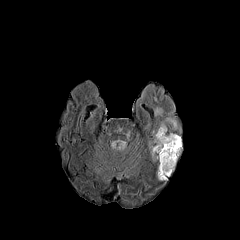
FLAIR MR.
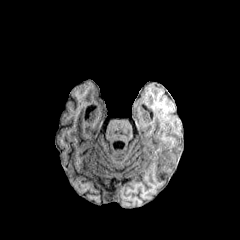
T1-weighted magnetic resonance of the same slice.
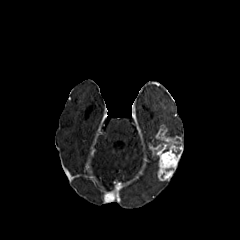
Post-contrast T1-weighted MR image of the same slice.
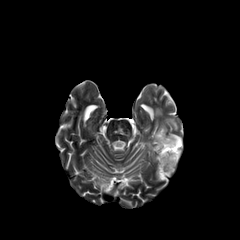
T2-weighted magnetic resonance.
Brain.
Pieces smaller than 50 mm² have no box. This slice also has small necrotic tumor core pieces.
Findings:
• peritumoral edema: [x1=165, y1=118, x2=177, y2=129], [x1=155, y1=108, x2=162, y2=115], [x1=153, y1=132, x2=165, y2=146]
• enhancing tumor: [x1=149, y1=124, x2=182, y2=180]